FLAIR magnetic resonance.
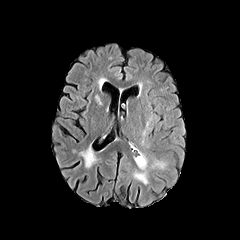
T1-weighted MR image.
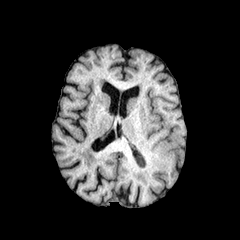
Post-contrast T1-weighted MR.
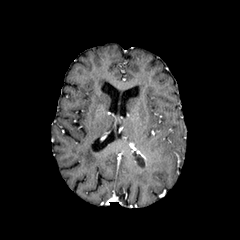
T2-weighted magnetic resonance.
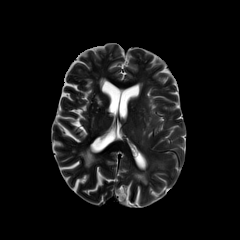
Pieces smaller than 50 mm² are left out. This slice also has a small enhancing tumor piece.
peritumoral edema at (135,153,147,171)
necrotic tumor core at (137,156,145,166)